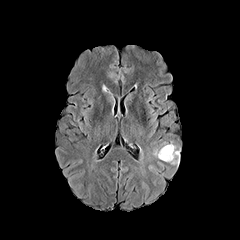
FLAIR MRI.
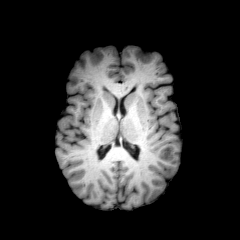
T1-weighted MRI.
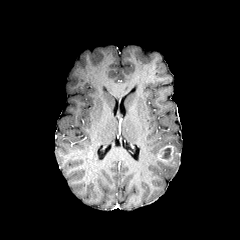
Same slice, post-contrast T1-weighted MR image.
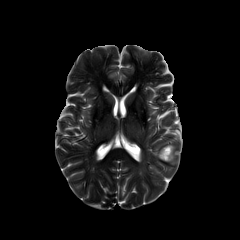
T2-weighted MRI.
240x240 px
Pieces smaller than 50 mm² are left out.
peritumoral edema = (153, 143, 165, 157)
necrotic tumor core = (162, 148, 170, 159)
enhancing tumor = (158, 145, 175, 163)